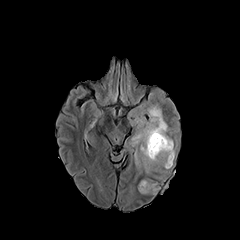
FLAIR MRI.
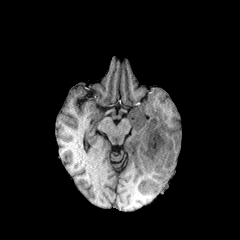
Same slice, T1-weighted MR.
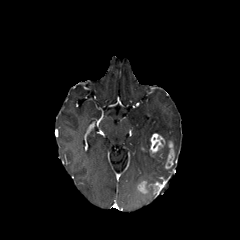
Post-contrast T1-weighted magnetic resonance.
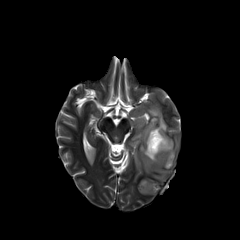
T2-weighted MR.
240x240
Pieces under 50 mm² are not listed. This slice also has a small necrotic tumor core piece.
The largest peritumoral edema region is located at (131, 89, 177, 182). 2 enhancing tumor regions are bounded by (149, 133, 174, 168), (138, 180, 160, 194).